FLAIR MR image.
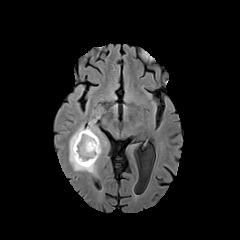
T1-weighted MR.
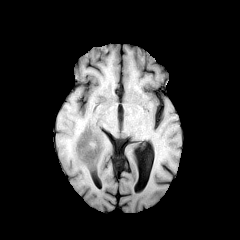
Post-contrast T1-weighted MR.
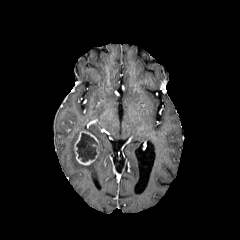
T2-weighted MR image.
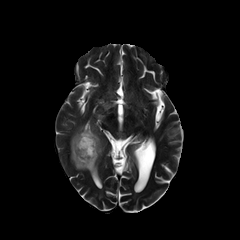
Axial view
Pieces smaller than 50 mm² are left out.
peritumoral edema — box=[68, 84, 83, 101]; box=[68, 104, 109, 175]
necrotic tumor core — box=[76, 133, 97, 162]
enhancing tumor — box=[74, 131, 99, 164]